Image width 240 mm, 1.00 mm slice spacing. Axial plane. 240x240.
FLAIR MR.
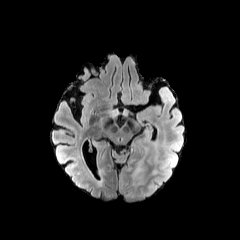
T1-weighted magnetic resonance.
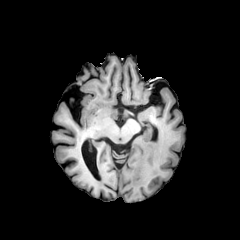
Post-contrast T1-weighted MR.
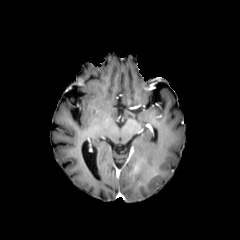
T2-weighted MRI.
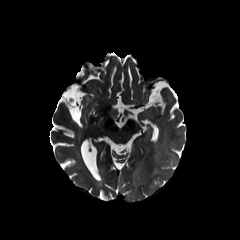
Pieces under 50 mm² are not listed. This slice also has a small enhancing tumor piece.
<segmentation>
  <peritumoral_edema>x1=130 y1=158 x2=143 y2=183</peritumoral_edema>
</segmentation>